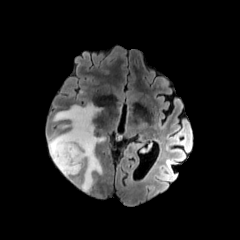
FLAIR MR.
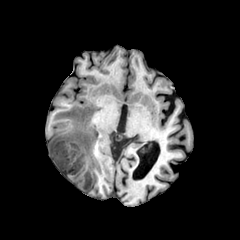
T1-weighted MR image of the same slice.
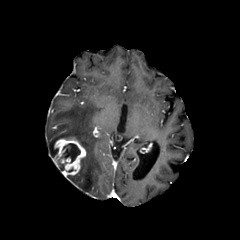
Post-contrast T1-weighted MR image.
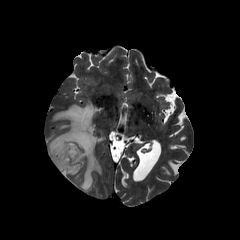
T2-weighted MR.
Axial slice.
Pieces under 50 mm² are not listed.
necrotic tumor core — (x1=60, y1=143, x2=80, y2=162)
peritumoral edema — (x1=49, y1=103, x2=104, y2=191)
enhancing tumor — (x1=52, y1=137, x2=86, y2=176)